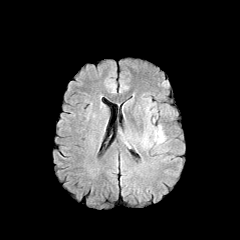
FLAIR MR.
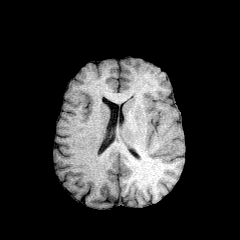
T1-weighted MR.
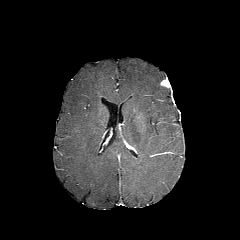
Post-contrast T1-weighted magnetic resonance.
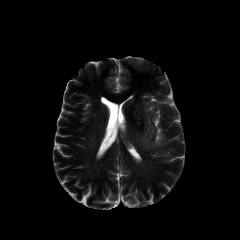
T2-weighted MR image.
Image size 240x240.
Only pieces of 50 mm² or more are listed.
The largest peritumoral edema region is bounded by <bbox>155, 127, 164, 143</bbox>.